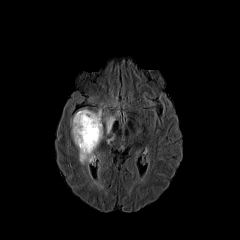
FLAIR MR image.
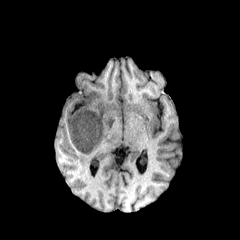
Same slice, T1-weighted MR.
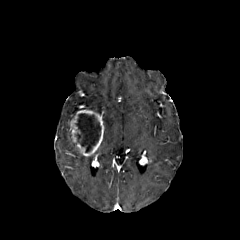
Post-contrast T1-weighted MR.
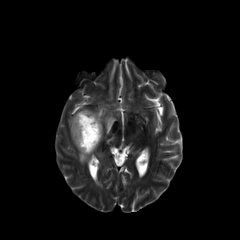
Same slice, T2-weighted MR image.
Brain, Axial slice
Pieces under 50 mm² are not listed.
{"peritumoral_edema": ["(103,116,114,133)", "(79,153,94,164)"], "enhancing_tumor": ["(69,109,104,156)"], "necrotic_tumor_core": ["(76,113,100,152)"]}